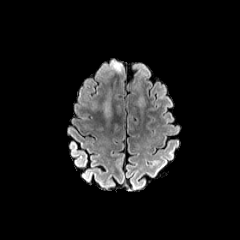
FLAIR MRI.
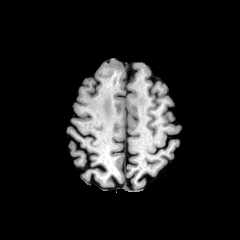
Same slice, T1-weighted MRI.
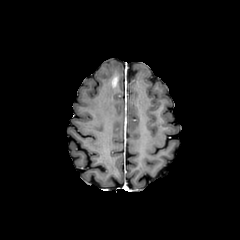
Same slice, post-contrast T1-weighted MRI.
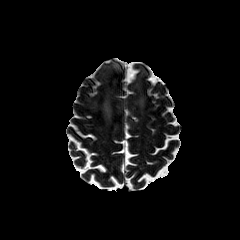
Same slice, T2-weighted MR.
Axial slice | Brain
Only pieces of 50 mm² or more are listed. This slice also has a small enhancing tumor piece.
The 2 largest peritumoral edema regions appear at rect(103, 100, 110, 117); rect(105, 60, 122, 72).